FLAIR MR image.
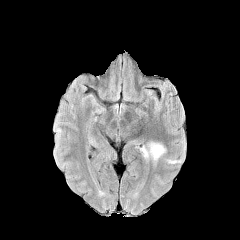
T1-weighted MR.
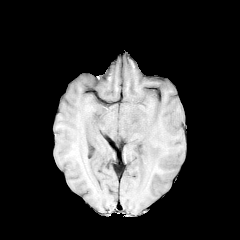
Post-contrast T1-weighted MRI.
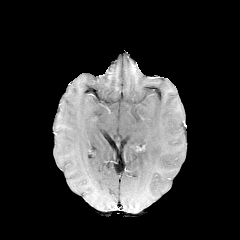
T2-weighted MRI.
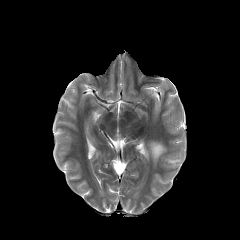
Axial slice
Annotated regions:
* peritumoral edema: (x1=141, y1=142, x2=165, y2=161), (x1=167, y1=159, x2=180, y2=163)